FLAIR magnetic resonance.
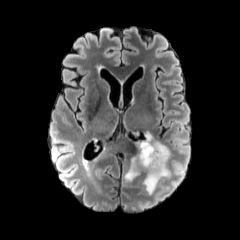
T1-weighted MR.
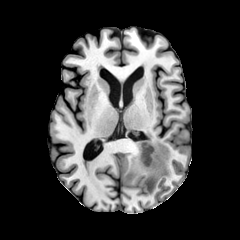
Post-contrast T1-weighted MR.
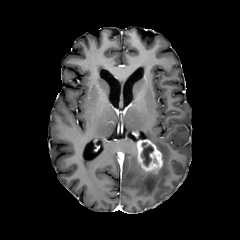
T2-weighted MR image.
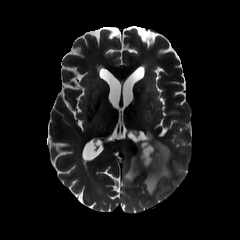
Image size 240x240
The enhancing tumor is at l=136, t=139, r=163, b=173. 2 peritumoral edema regions are located at l=125, t=157, r=141, b=182; l=142, t=132, r=169, b=194. The necrotic tumor core is bounded by l=141, t=142, r=153, b=165.